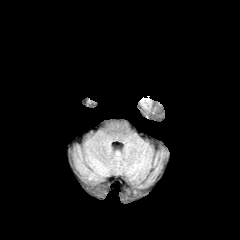
FLAIR magnetic resonance.
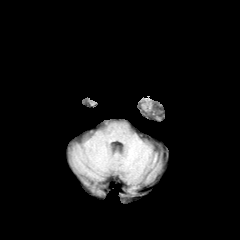
T1-weighted MR.
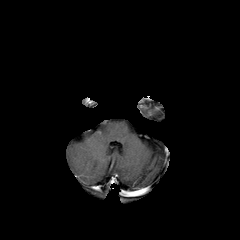
Post-contrast T1-weighted magnetic resonance.
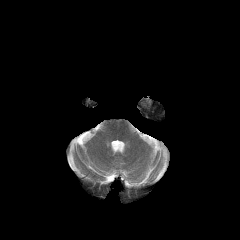
T2-weighted MR image of the same slice.
Axial view, 240x240 px
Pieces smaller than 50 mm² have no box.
* peritumoral edema: (140, 99, 152, 109)